Axial plane | 240x240 | Head | Image width 240 mm
FLAIR MR image.
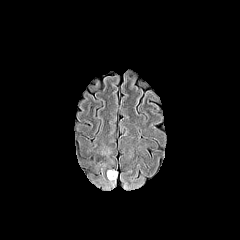
T1-weighted magnetic resonance.
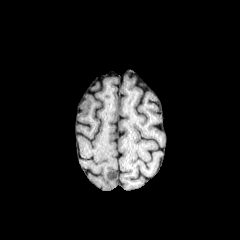
Post-contrast T1-weighted MR.
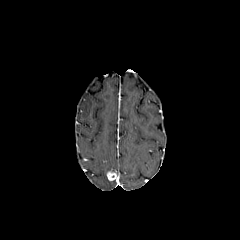
T2-weighted MR.
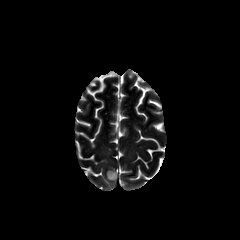
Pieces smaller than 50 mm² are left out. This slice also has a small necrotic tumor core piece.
peritumoral edema = 87, 141, 113, 168
enhancing tumor = 107, 171, 116, 180